Head, Axial plane
FLAIR magnetic resonance.
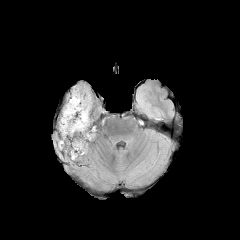
T1-weighted MR image.
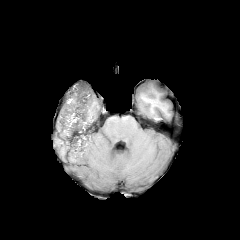
Post-contrast T1-weighted MRI.
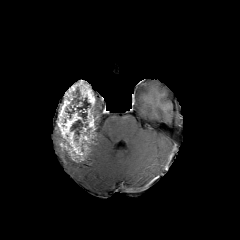
T2-weighted MR image.
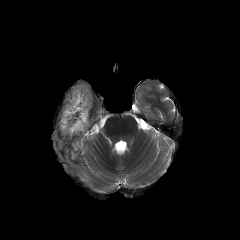
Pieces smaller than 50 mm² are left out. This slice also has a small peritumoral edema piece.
enhancing tumor: (57,81,97,161) | necrotic tumor core: (71,88,90,121), (70,120,87,141), (65,105,74,118)